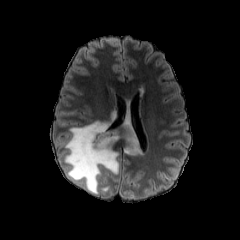
FLAIR magnetic resonance.
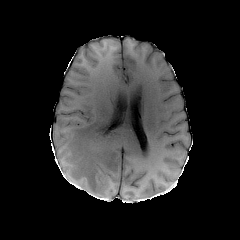
T1-weighted MR.
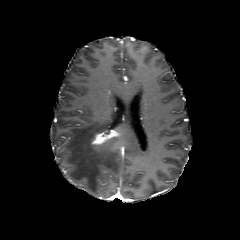
Post-contrast T1-weighted MR.
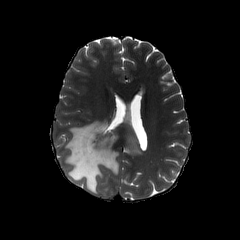
T2-weighted MR image of the same slice.
Brain. Axial view.
{
  "peritumoral_edema": [
    {"x1": 124, "y1": 123, "x2": 140, "y2": 154},
    {"x1": 64, "y1": 111, "x2": 120, "y2": 194}
  ],
  "enhancing_tumor": [
    {"x1": 91, "y1": 129, "x2": 119, "y2": 146}
  ]
}